Axial plane; Slice 126 of 155
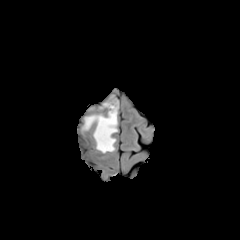
FLAIR magnetic resonance.
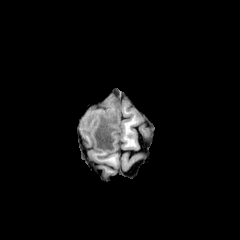
T1-weighted magnetic resonance of the same slice.
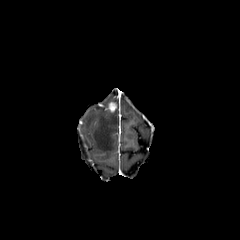
Post-contrast T1-weighted MRI of the same slice.
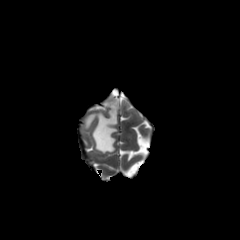
T2-weighted MRI.
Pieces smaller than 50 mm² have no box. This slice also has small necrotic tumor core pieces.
<segmentation>
  <peritumoral_edema>left=85, top=108, right=117, bottom=153</peritumoral_edema>
  <enhancing_tumor>left=108, top=101, right=117, bottom=112</enhancing_tumor>
</segmentation>